Axial slice, Brain, Slice 115/155, Image width 240 mm, 1.00 mm slice spacing
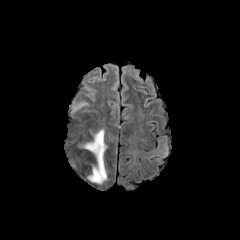
FLAIR MR image.
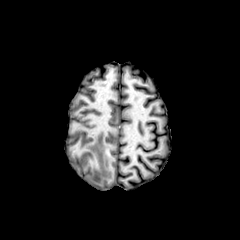
T1-weighted MR.
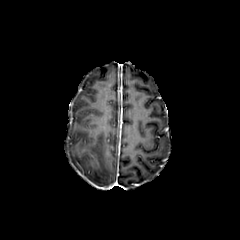
Post-contrast T1-weighted magnetic resonance.
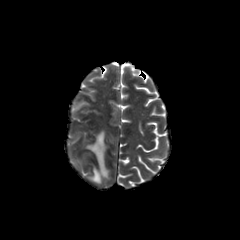
T2-weighted MR.
peritumoral_edema:
  - [80,129,107,183]